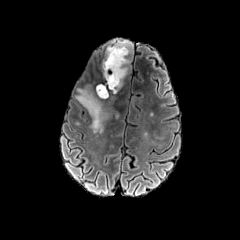
FLAIR MRI.
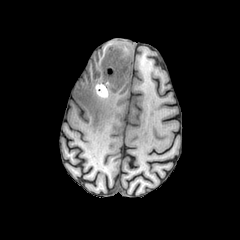
T1-weighted MRI of the same slice.
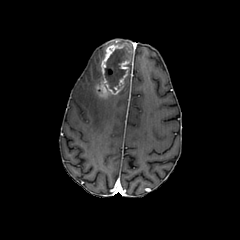
Same slice, post-contrast T1-weighted MRI.
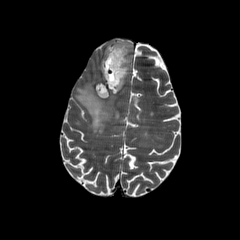
T2-weighted MRI of the same slice.
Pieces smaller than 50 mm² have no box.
necrotic tumor core = (x1=105, y1=46, x2=129, y2=91)
peritumoral edema = (x1=75, y1=88, x2=119, y2=133)
enhancing tumor = (x1=96, y1=40, x2=131, y2=98)